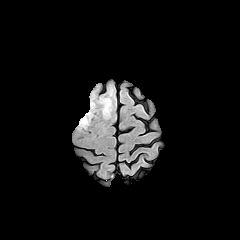
FLAIR MRI.
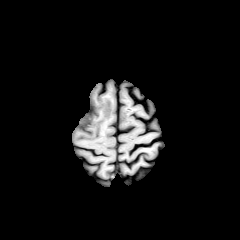
T1-weighted MR.
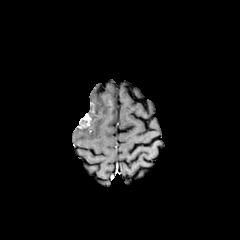
Same slice, post-contrast T1-weighted MR image.
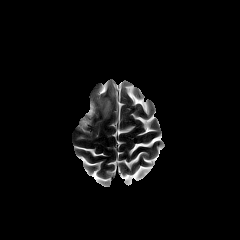
T2-weighted MR image.
Brain; 240x240 px
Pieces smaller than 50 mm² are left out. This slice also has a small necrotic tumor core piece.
<segmentation>
  <enhancing_tumor><box>77,112,91,128</box>, <box>89,102,94,113</box></enhancing_tumor>
  <peritumoral_edema><box>99,98,112,118</box></peritumoral_edema>
</segmentation>